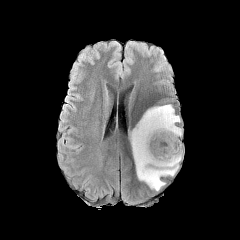
FLAIR MR image.
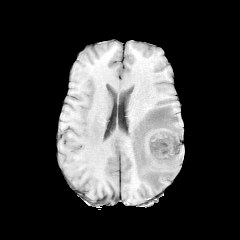
Same slice, T1-weighted MR.
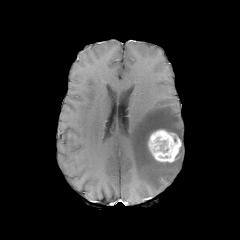
Post-contrast T1-weighted MR.
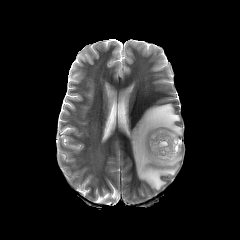
T2-weighted MR.
240x240 px
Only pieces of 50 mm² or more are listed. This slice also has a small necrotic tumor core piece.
enhancing_tumor:
  - (x1=148, y1=129, x2=181, y2=162)
peritumoral_edema:
  - (x1=129, y1=104, x2=182, y2=190)